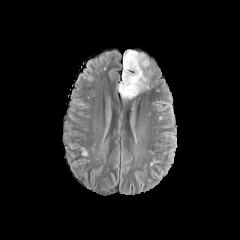
FLAIR MR.
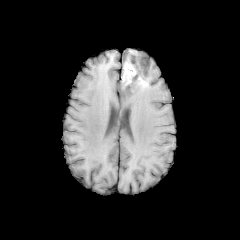
T1-weighted MR image.
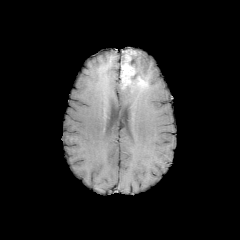
Same slice, post-contrast T1-weighted MRI.
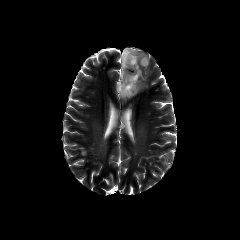
Same slice, T2-weighted MRI.
Head
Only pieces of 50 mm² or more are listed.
* necrotic tumor core: rect(129, 53, 146, 80)
* peritumoral edema: rect(117, 82, 148, 99); rect(135, 51, 149, 82)
* enhancing tumor: rect(121, 50, 147, 92)